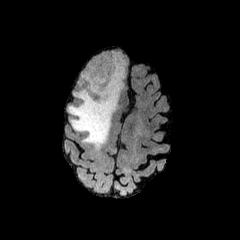
FLAIR MRI.
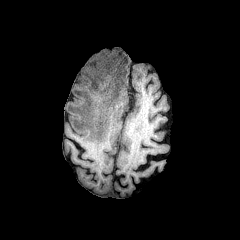
T1-weighted MR of the same slice.
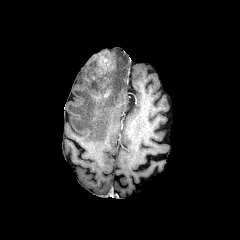
Post-contrast T1-weighted MRI.
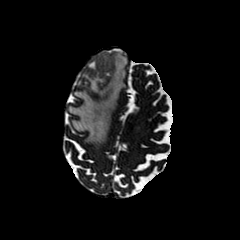
T2-weighted magnetic resonance.
240x240 px; Axial plane
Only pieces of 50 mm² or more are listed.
peritumoral edema: 67,51,127,148
enhancing tumor: 103,89,110,97; 89,51,115,82